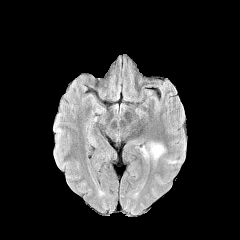
FLAIR MR image.
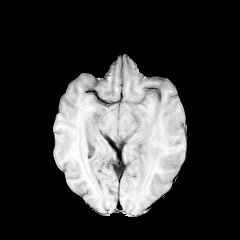
T1-weighted MRI.
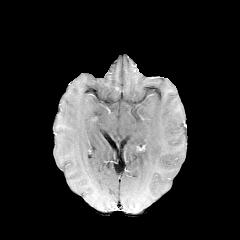
Same slice, post-contrast T1-weighted MRI.
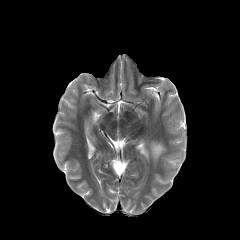
T2-weighted MR.
Brain
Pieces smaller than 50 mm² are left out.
The largest peritumoral edema region is at bbox(141, 142, 164, 160).